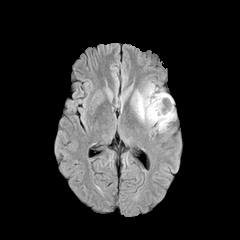
FLAIR magnetic resonance.
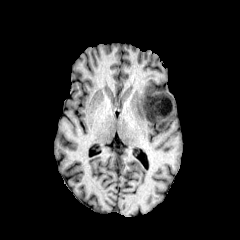
T1-weighted MRI of the same slice.
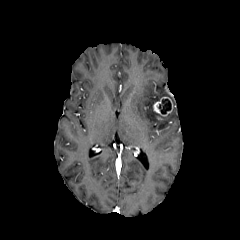
Post-contrast T1-weighted MR.
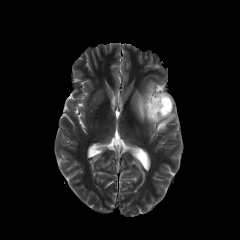
T2-weighted magnetic resonance.
Brain, Axial plane
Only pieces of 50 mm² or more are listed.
peritumoral edema: (x1=133, y1=84, x2=175, y2=130) | enhancing tumor: (x1=152, y1=96, x2=173, y2=116) | necrotic tumor core: (x1=158, y1=98, x2=171, y2=114)